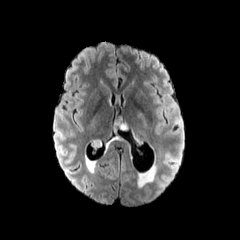
FLAIR magnetic resonance.
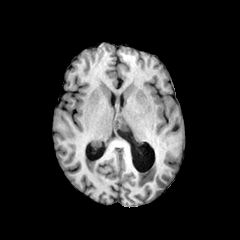
Same slice, T1-weighted MR.
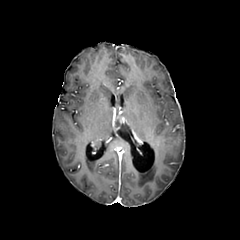
Same slice, post-contrast T1-weighted magnetic resonance.
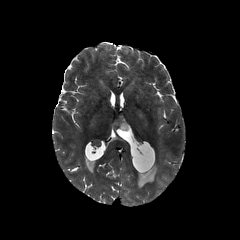
T2-weighted MRI.
Head | Image size 240x240
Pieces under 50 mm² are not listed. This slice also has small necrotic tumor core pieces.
enhancing tumor: region(114, 115, 127, 129)